FLAIR magnetic resonance.
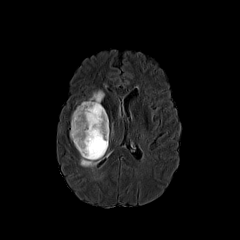
T1-weighted MR.
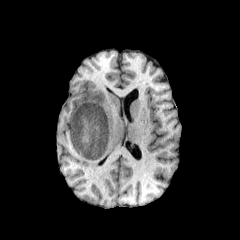
Post-contrast T1-weighted MR image.
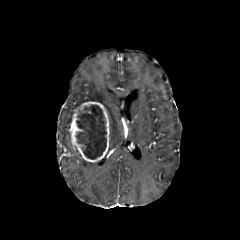
T2-weighted magnetic resonance.
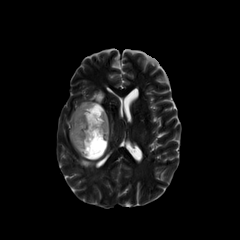
Image size 240x240
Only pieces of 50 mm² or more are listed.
The 2 largest peritumoral edema regions are located at region(88, 90, 104, 102); region(80, 156, 99, 168). The largest enhancing tumor region is located at region(70, 101, 109, 162). The necrotic tumor core is located at region(76, 105, 106, 159).